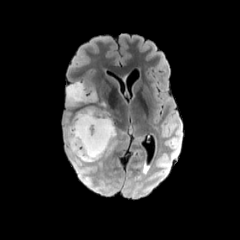
FLAIR magnetic resonance.
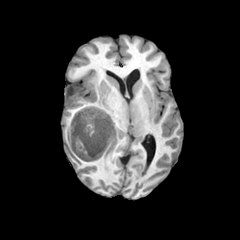
T1-weighted magnetic resonance.
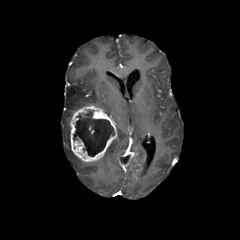
Post-contrast T1-weighted MR image.
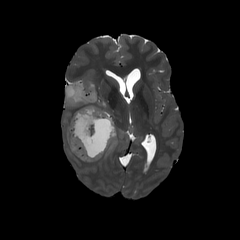
T2-weighted magnetic resonance.
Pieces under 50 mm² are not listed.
necrotic tumor core — region(73, 110, 114, 156)
peritumoral edema — region(66, 82, 97, 105)
enhancing tumor — region(70, 105, 117, 161)